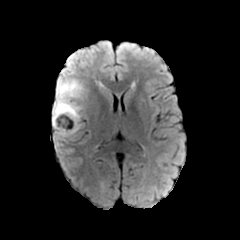
FLAIR MRI.
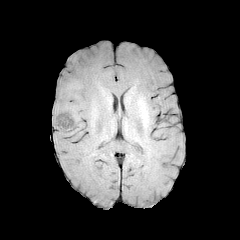
T1-weighted MRI.
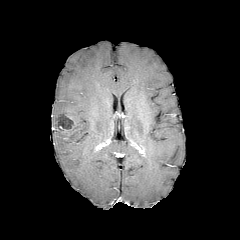
Post-contrast T1-weighted MR of the same slice.
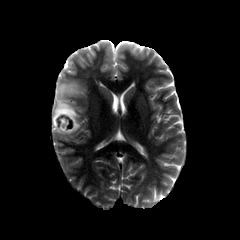
T2-weighted MRI.
Head
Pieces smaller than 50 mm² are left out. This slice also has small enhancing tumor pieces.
peritumoral edema = 52:74:86:138
necrotic tumor core = 56:113:75:131